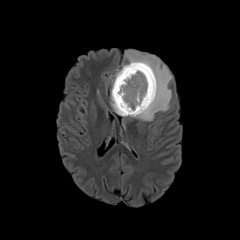
FLAIR magnetic resonance.
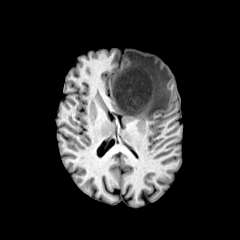
T1-weighted MR image of the same slice.
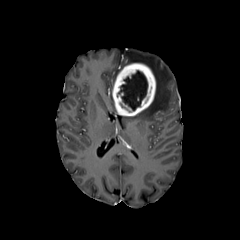
Post-contrast T1-weighted MR.
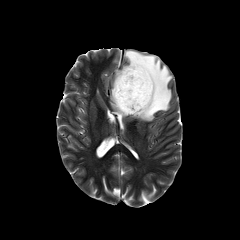
Same slice, T2-weighted MR image.
Axial slice; Head; Image size 240x240
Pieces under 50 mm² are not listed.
The 2 largest peritumoral edema regions are located at box=[110, 70, 120, 112]; box=[122, 50, 172, 121]. The largest necrotic tumor core region is located at box=[117, 70, 147, 110]. The largest enhancing tumor region is bounded by box=[112, 63, 155, 116].